Brain, Axial slice, Slice 64 of 155
FLAIR MRI.
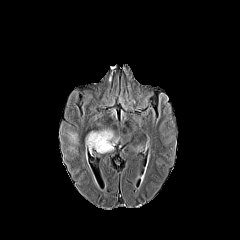
T1-weighted MR image.
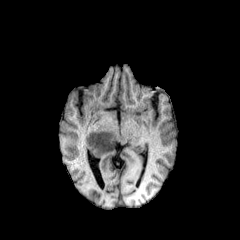
Post-contrast T1-weighted MR image.
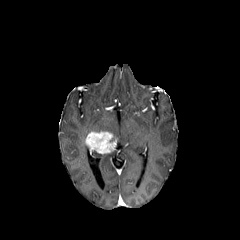
T2-weighted MR image.
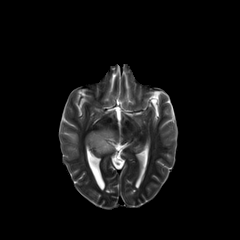
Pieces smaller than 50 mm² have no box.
The largest peritumoral edema region appears at (67,131,78,152). The enhancing tumor is bounded by (85,131,117,153).